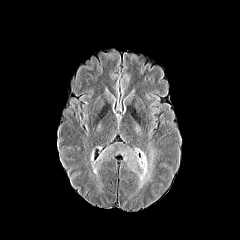
FLAIR magnetic resonance.
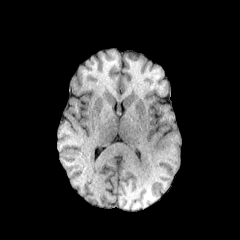
T1-weighted MR.
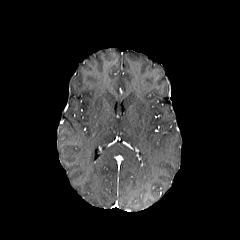
Same slice, post-contrast T1-weighted MRI.
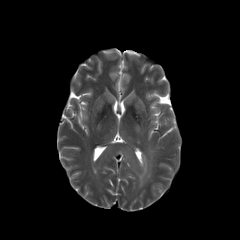
T2-weighted MRI of the same slice.
2 peritumoral edema regions are located at (115,141,158,187), (90,145,115,174).